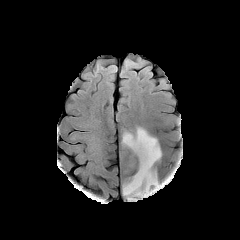
FLAIR MR.
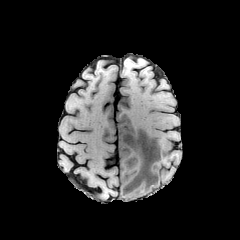
Same slice, T1-weighted MR.
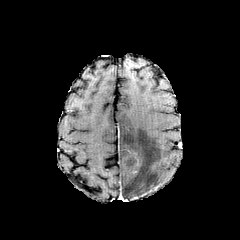
Post-contrast T1-weighted magnetic resonance of the same slice.
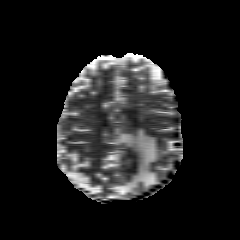
T2-weighted MRI.
Head
peritumoral_edema:
  - 121:127:162:199